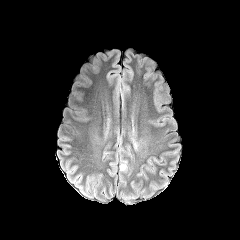
FLAIR MR.
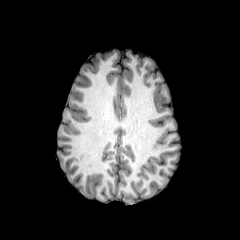
Same slice, T1-weighted MR.
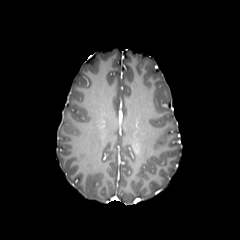
Post-contrast T1-weighted MRI of the same slice.
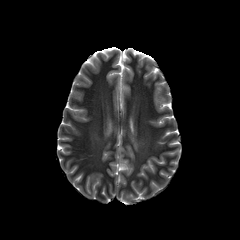
T2-weighted magnetic resonance.
240x240 px.
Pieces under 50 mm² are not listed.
<segmentation>
  <peritumoral_edema>box(132, 137, 139, 150)</peritumoral_edema>
</segmentation>